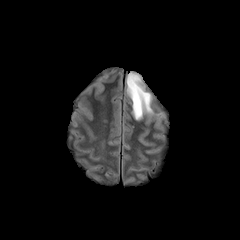
FLAIR MRI.
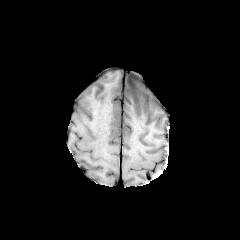
Same slice, T1-weighted MR image.
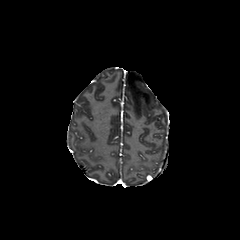
Post-contrast T1-weighted MR image.
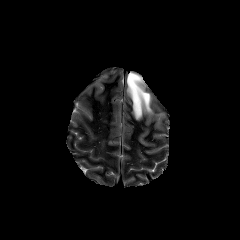
Same slice, T2-weighted MR image.
Head. Axial plane.
* peritumoral edema: <bbox>127, 72, 152, 119</bbox>